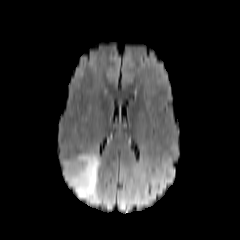
FLAIR MRI.
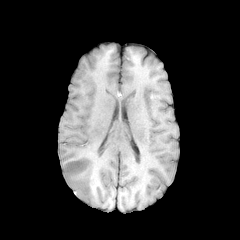
T1-weighted MR image.
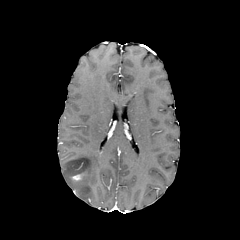
Same slice, post-contrast T1-weighted MRI.
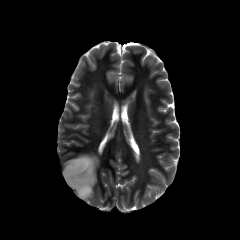
Same slice, T2-weighted magnetic resonance.
Head; Axial plane
enhancing tumor — l=72, t=174, r=84, b=181
peritumoral edema — l=63, t=153, r=100, b=203